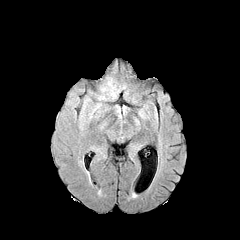
FLAIR magnetic resonance.
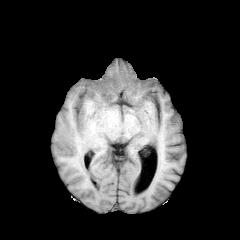
T1-weighted MRI.
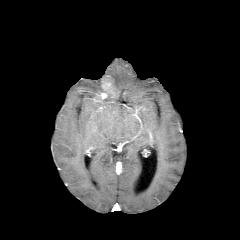
Post-contrast T1-weighted MR image of the same slice.
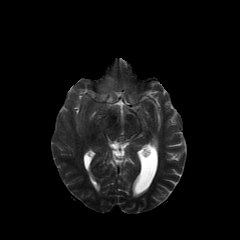
T2-weighted MRI.
Image size 240x240
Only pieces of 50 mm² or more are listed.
Segmented structures:
* enhancing tumor: [102,82,110,90]
* peritumoral edema: [105,79,115,95]